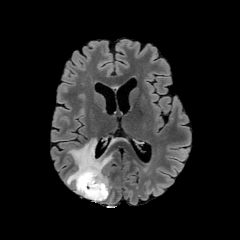
FLAIR MR.
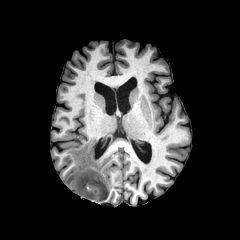
T1-weighted MR image.
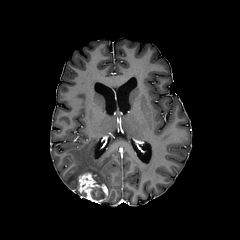
Same slice, post-contrast T1-weighted MR image.
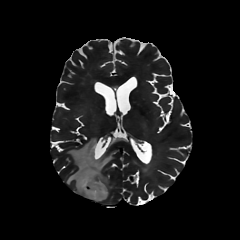
Same slice, T2-weighted MR.
Axial plane; Brain
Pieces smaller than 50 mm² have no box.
enhancing tumor — [x1=78, y1=172, x2=107, y2=202]
necrotic tumor core — [x1=91, y1=187, x2=104, y2=200]
peritumoral edema — [x1=64, y1=138, x2=112, y2=195]